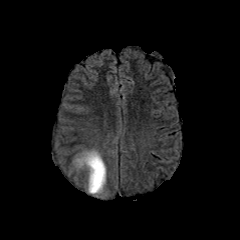
FLAIR MRI.
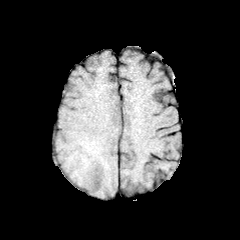
T1-weighted MR.
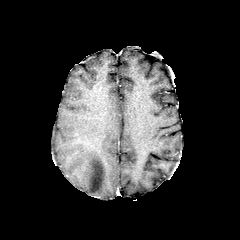
Same slice, post-contrast T1-weighted MR.
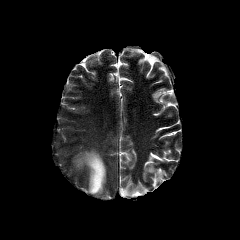
T2-weighted MRI.
240x240 px, Head
The peritumoral edema is located at [74,150,106,194].